Axial view. Slice 56 of 155. Brain.
FLAIR MR.
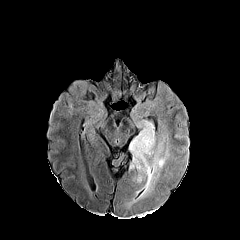
T1-weighted MR.
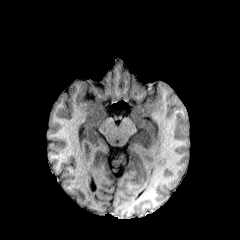
Post-contrast T1-weighted MR.
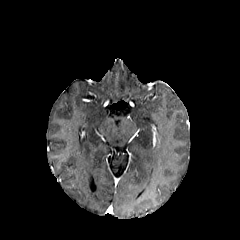
T2-weighted MR.
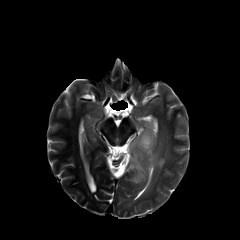
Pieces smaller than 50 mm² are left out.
{"peritumoral_edema": ["129,123,168,197"]}